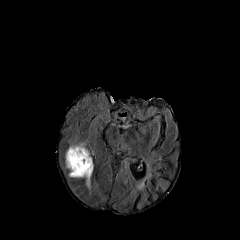
FLAIR magnetic resonance.
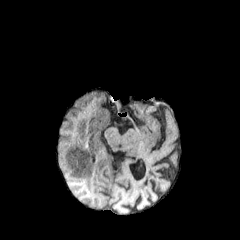
T1-weighted MR of the same slice.
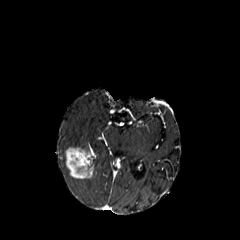
Post-contrast T1-weighted MR image of the same slice.
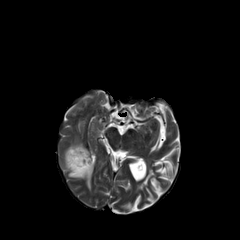
Same slice, T2-weighted magnetic resonance.
Head. Axial slice.
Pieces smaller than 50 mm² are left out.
The 2 largest peritumoral edema regions appear at (left=70, top=139, right=88, bottom=150), (left=85, top=178, right=91, bottom=189). The enhancing tumor is located at (left=65, top=147, right=93, bottom=178).